FLAIR magnetic resonance.
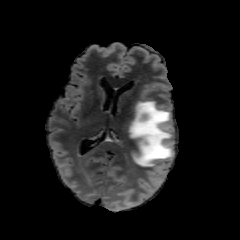
T1-weighted MRI.
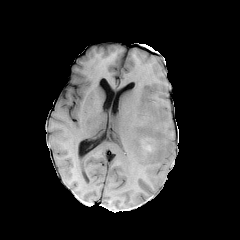
Post-contrast T1-weighted magnetic resonance.
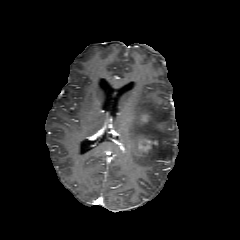
T2-weighted MR image.
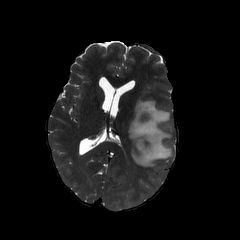
Axial plane.
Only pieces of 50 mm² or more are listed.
enhancing tumor at [131, 135, 159, 156], [156, 122, 164, 131], [139, 114, 151, 125]
peritumoral edema at [128, 99, 173, 166]